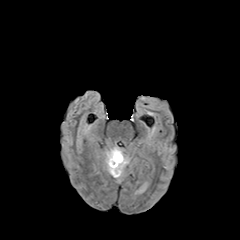
FLAIR MR.
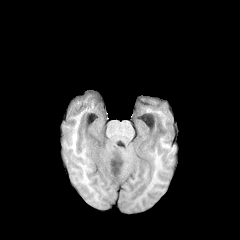
T1-weighted magnetic resonance.
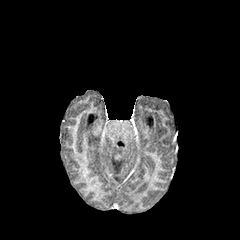
Post-contrast T1-weighted MRI.
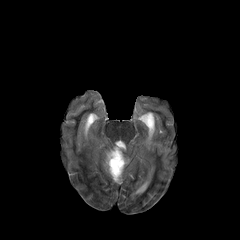
Same slice, T2-weighted MRI.
Brain; 240x240 px
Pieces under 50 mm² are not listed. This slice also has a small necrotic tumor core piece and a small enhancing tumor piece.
The peritumoral edema is at <box>105,147,129,180</box>.